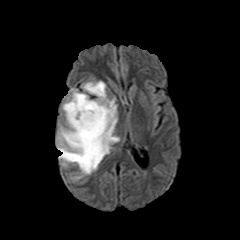
FLAIR magnetic resonance.
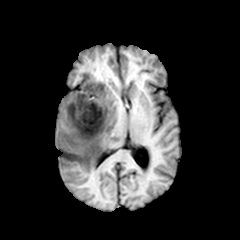
Same slice, T1-weighted magnetic resonance.
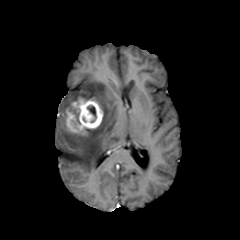
Post-contrast T1-weighted MR.
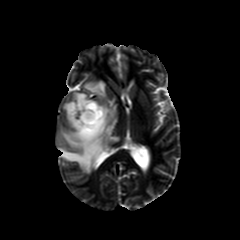
Same slice, T2-weighted MR.
Head. 240x240 px.
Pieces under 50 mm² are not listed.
enhancing_tumor:
  - 66:97:103:135
peritumoral_edema:
  - 57:81:119:179
  - 62:89:90:120
necrotic_tumor_core:
  - 87:106:96:119